Image covers 240 mm x 240 mm | Slice index 79 | Axial slice
FLAIR magnetic resonance.
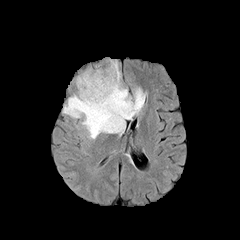
T1-weighted magnetic resonance.
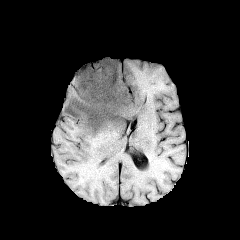
Post-contrast T1-weighted MR.
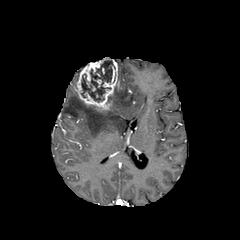
T2-weighted MRI.
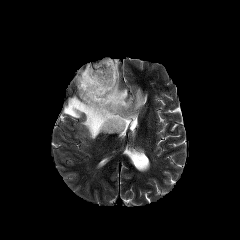
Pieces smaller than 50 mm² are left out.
- necrotic tumor core: 81 60 113 102
- enhancing tumor: 76 58 119 112
- peritumoral edema: 63 82 145 139